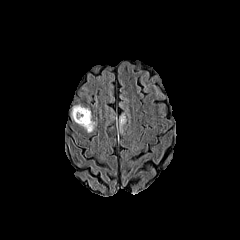
FLAIR MR.
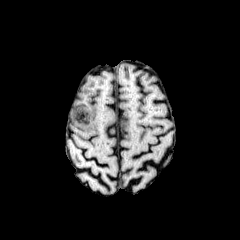
Same slice, T1-weighted MRI.
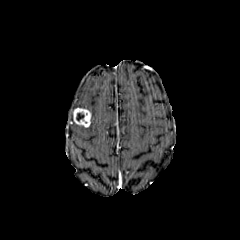
Post-contrast T1-weighted MR.
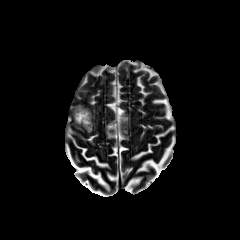
T2-weighted magnetic resonance of the same slice.
240x240
necrotic tumor core: bounding box [76, 113, 84, 121]
enhancing tumor: bounding box [73, 108, 91, 127]
peritumoral edema: bounding box [120, 113, 125, 129], [80, 118, 95, 132], [71, 105, 90, 118]